Axial plane
FLAIR MRI.
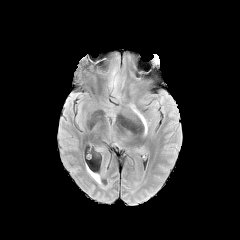
T1-weighted MR.
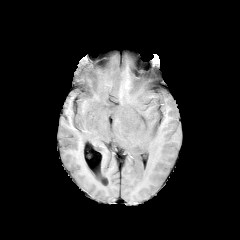
Post-contrast T1-weighted MR.
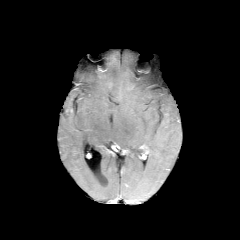
T2-weighted MR image.
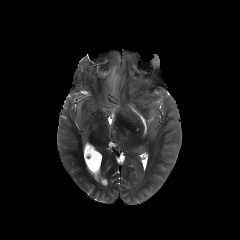
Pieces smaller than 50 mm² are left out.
peritumoral edema = box=[107, 52, 151, 98]; box=[131, 105, 147, 133]